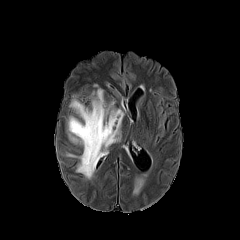
FLAIR MRI.
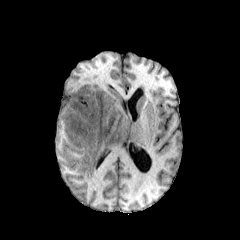
Same slice, T1-weighted MR image.
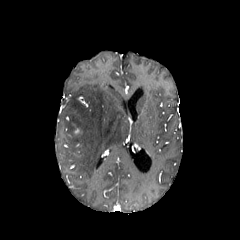
Post-contrast T1-weighted MRI of the same slice.
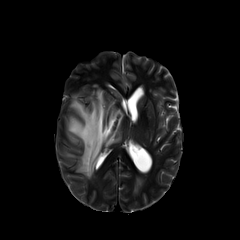
T2-weighted MR.
240x240. Axial slice. Head.
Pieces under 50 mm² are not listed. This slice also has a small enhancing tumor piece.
• peritumoral edema: bbox(67, 88, 123, 178); bbox(132, 173, 147, 196)